FLAIR MR.
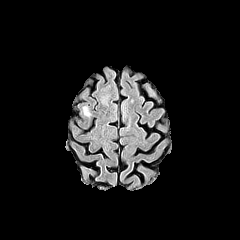
T1-weighted MR image.
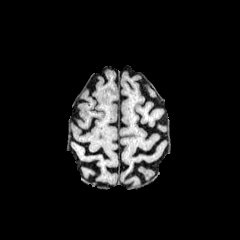
Post-contrast T1-weighted MR image.
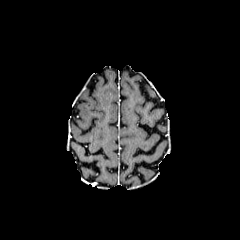
T2-weighted magnetic resonance.
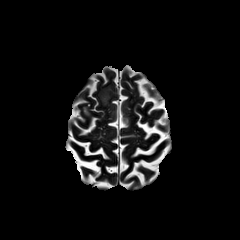
Brain
peritumoral_edema:
  - x1=83 y1=106 x2=90 y2=116